FLAIR MRI.
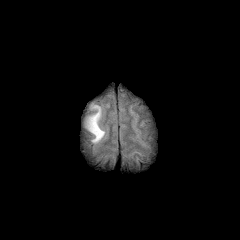
T1-weighted MR.
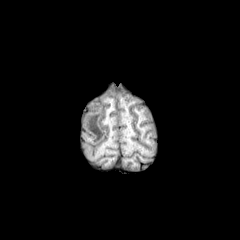
Post-contrast T1-weighted MRI.
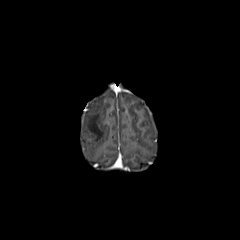
T2-weighted magnetic resonance.
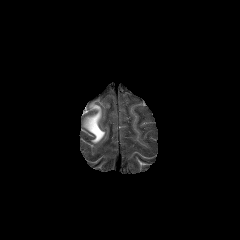
Head.
* peritumoral edema: 85, 105, 104, 142